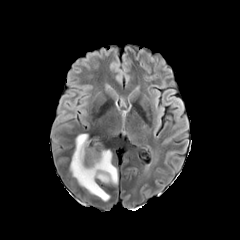
FLAIR MR image.
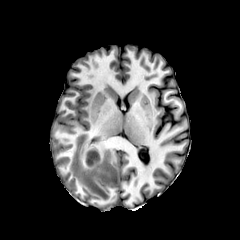
T1-weighted MRI of the same slice.
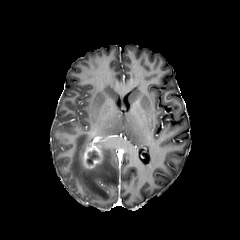
Post-contrast T1-weighted MRI.
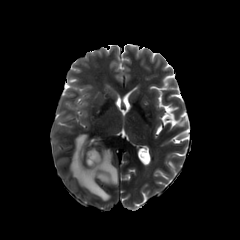
T2-weighted MR image.
240x240 px. Head.
Segmented structures:
• peritumoral edema: (70,134,117,201)
• necrotic tumor core: (87,151,98,163)
• enhancing tumor: (84,146,101,168)